FLAIR MR image.
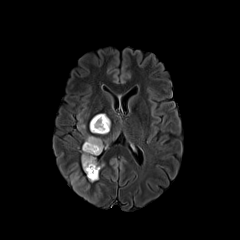
T1-weighted MRI.
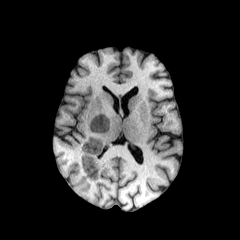
Post-contrast T1-weighted MR.
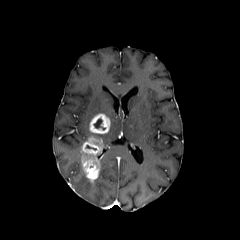
T2-weighted MRI.
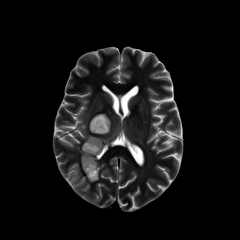
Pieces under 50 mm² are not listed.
enhancing_tumor:
  - <box>89,113,110,134</box>
  - <box>81,135,103,181</box>
peritumoral_edema:
  - <box>77,119,85,134</box>
necrotic_tumor_core:
  - <box>94,118,105,129</box>